Axial plane; Image size 240x240; Brain; Slice 83/155
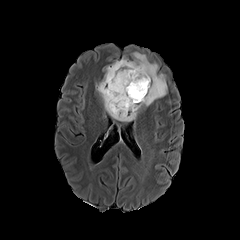
FLAIR magnetic resonance.
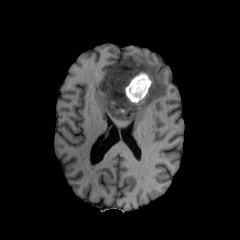
T1-weighted MRI.
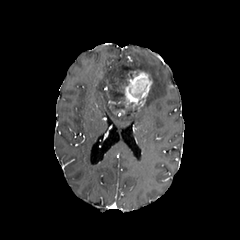
Same slice, post-contrast T1-weighted magnetic resonance.
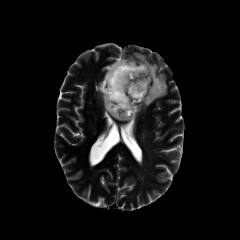
Same slice, T2-weighted MR image.
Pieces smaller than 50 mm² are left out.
enhancing tumor: bounding box (108,70,151,114)
peritumoral edema: bounding box (94,52,167,121)
necrotic tumor core: bounding box (112,103,124,110), (105,62,133,102)